FLAIR MR.
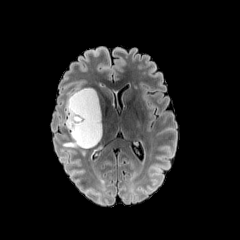
T1-weighted MRI.
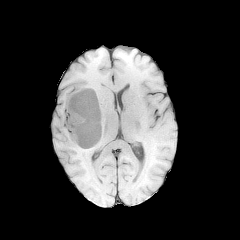
Post-contrast T1-weighted MR.
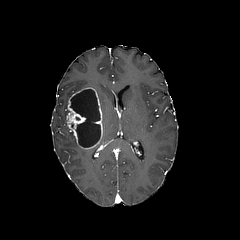
T2-weighted MR image.
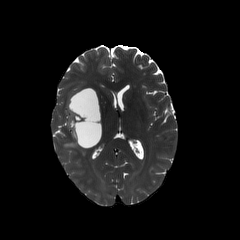
240x240 | Axial slice | Brain
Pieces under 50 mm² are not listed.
The largest necrotic tumor core region is bounded by l=70, t=89, r=100, b=147. The enhancing tumor is at l=67, t=87, r=102, b=148. The largest peritumoral edema region is located at l=63, t=132, r=80, b=147.